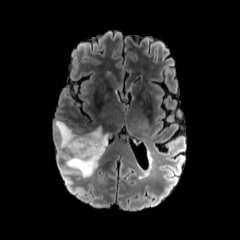
FLAIR MRI.
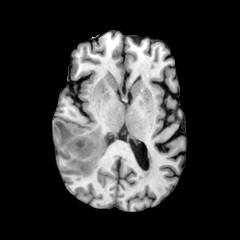
Same slice, T1-weighted magnetic resonance.
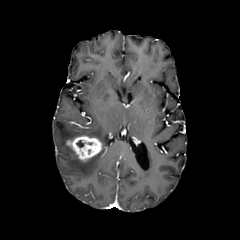
Post-contrast T1-weighted magnetic resonance of the same slice.
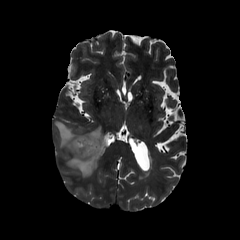
T2-weighted MR image of the same slice.
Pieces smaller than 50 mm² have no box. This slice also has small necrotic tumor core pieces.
enhancing tumor: <bbox>67, 136, 101, 160</bbox> | peritumoral edema: <bbox>55, 120, 107, 177</bbox>